Axial plane, 240x240 px, Slice index 131
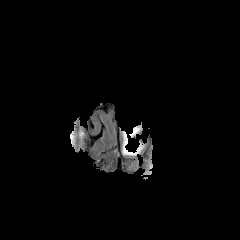
FLAIR MRI.
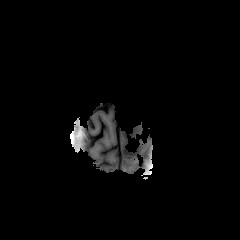
T1-weighted MR of the same slice.
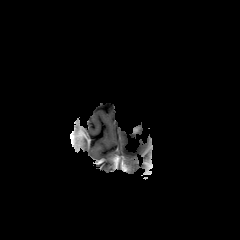
Post-contrast T1-weighted MR image of the same slice.
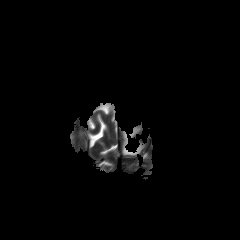
T2-weighted MR.
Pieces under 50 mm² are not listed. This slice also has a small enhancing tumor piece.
peritumoral edema: [122, 131, 143, 155]